FLAIR MRI.
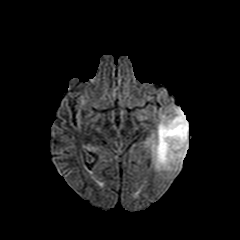
T1-weighted MRI.
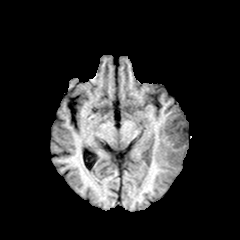
Post-contrast T1-weighted MR.
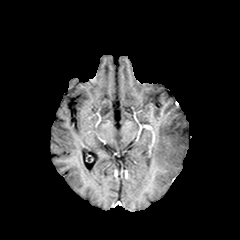
T2-weighted MR.
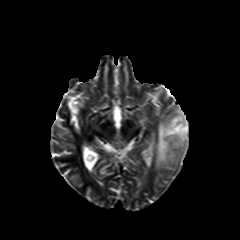
Image size 240x240
{
  "peritumoral_edema": [
    "(x1=151, y1=106, x2=188, y2=170)"
  ]
}